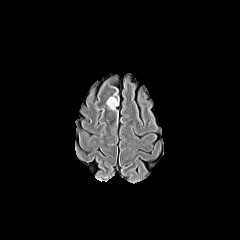
FLAIR MRI.
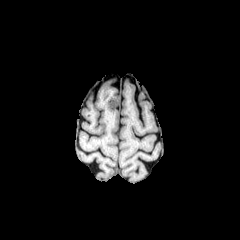
T1-weighted MR.
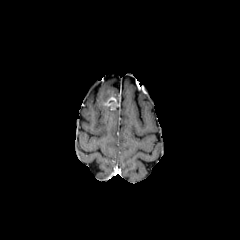
Post-contrast T1-weighted MRI.
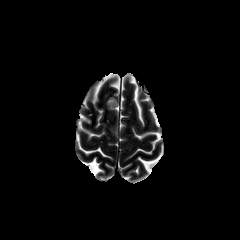
T2-weighted MRI of the same slice.
Axial slice.
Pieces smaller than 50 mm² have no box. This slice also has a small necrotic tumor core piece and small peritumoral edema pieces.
The enhancing tumor is located at (left=105, top=97, right=118, bottom=109).